Axial slice | Slice 96/155 | Brain
FLAIR MR image.
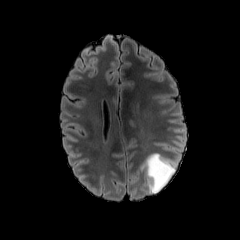
T1-weighted MR.
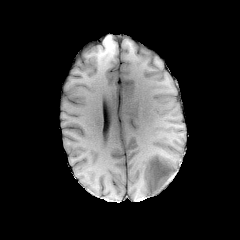
Post-contrast T1-weighted MRI.
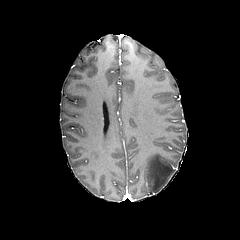
T2-weighted magnetic resonance.
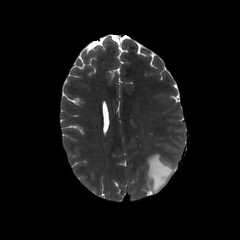
peritumoral edema at (141, 153, 176, 193)